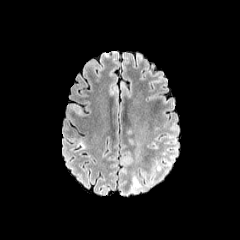
FLAIR MR image.
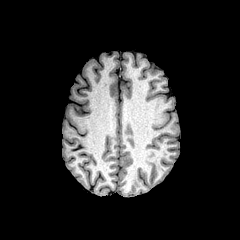
T1-weighted MRI of the same slice.
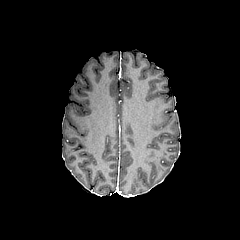
Post-contrast T1-weighted MRI.
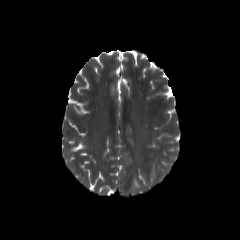
T2-weighted MR image of the same slice.
Axial plane; Head
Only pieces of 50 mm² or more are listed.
peritumoral_edema:
  - <box>133,175,140,189</box>